FLAIR MRI.
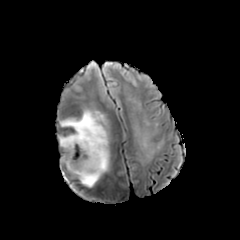
T1-weighted MR.
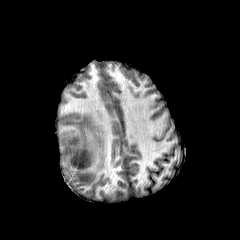
Post-contrast T1-weighted MRI.
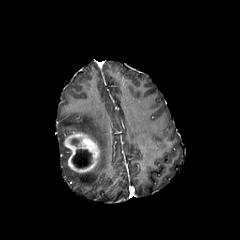
T2-weighted MRI.
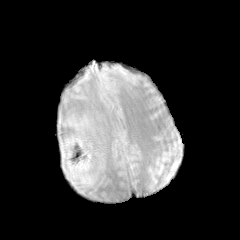
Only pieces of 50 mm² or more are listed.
The 2 largest necrotic tumor core regions appear at [72,149,91,168], [63,147,71,159]. The enhancing tumor lies within [63,132,100,173]. 2 peritumoral edema regions are bounded by [60,109,109,187], [58,136,65,150].